Image size 240x240, Brain, Axial slice
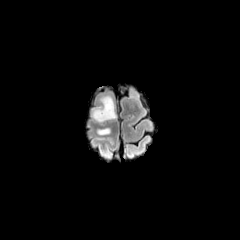
FLAIR magnetic resonance.
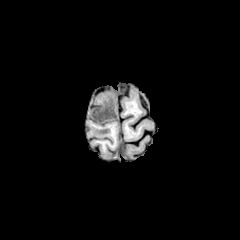
Same slice, T1-weighted MR.
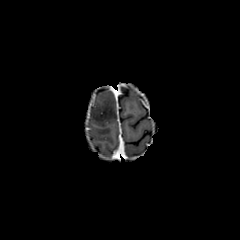
Post-contrast T1-weighted MR image.
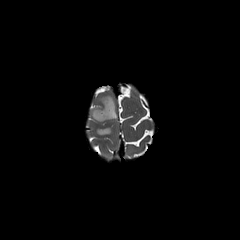
T2-weighted MR image.
2 peritumoral edema regions are bounded by bbox(96, 127, 110, 135); bbox(90, 94, 116, 124).